FLAIR MR.
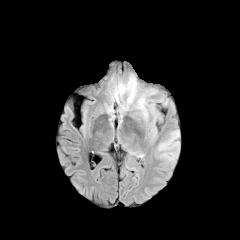
T1-weighted MRI.
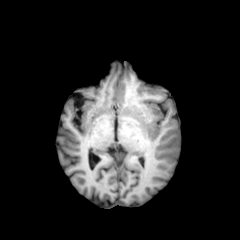
Post-contrast T1-weighted magnetic resonance.
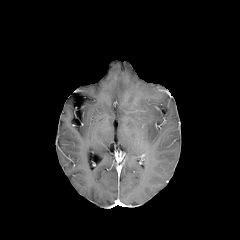
T2-weighted MR.
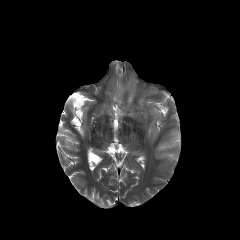
Brain | Axial slice
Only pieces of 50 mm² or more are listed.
Annotated regions:
* peritumoral edema: left=138, top=98, right=144, bottom=109; left=118, top=79, right=135, bottom=102